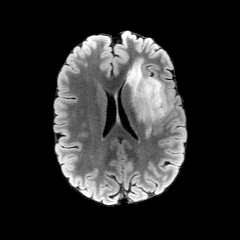
FLAIR MRI.
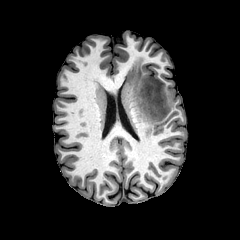
T1-weighted magnetic resonance.
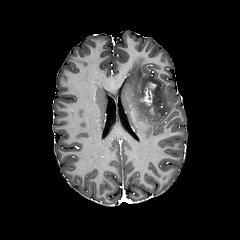
Post-contrast T1-weighted MRI.
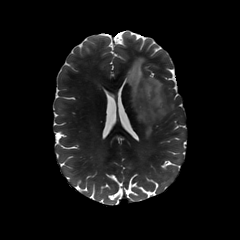
T2-weighted MRI.
Head.
{"enhancing_tumor": ["142, 82, 156, 114"], "peritumoral_edema": ["126, 59, 171, 135"]}